Slice 99/155; Image width 240 mm, 1.00 mm slice spacing; Axial plane; Image size 240x240
FLAIR MR image.
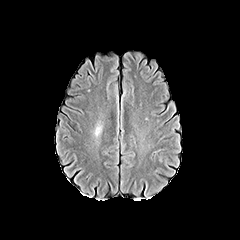
T1-weighted magnetic resonance.
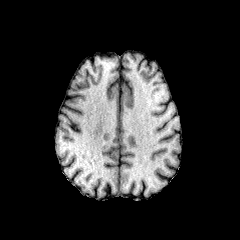
Post-contrast T1-weighted MR image.
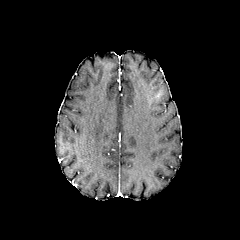
T2-weighted MRI.
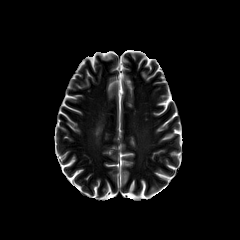
<segmentation>
  <peritumoral_edema>left=94, top=124, right=101, bottom=137</peritumoral_edema>
</segmentation>